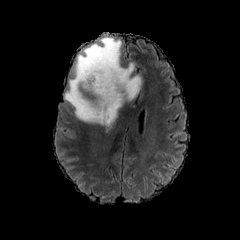
FLAIR magnetic resonance.
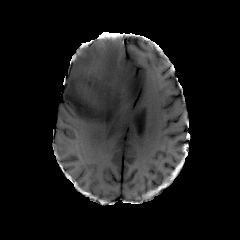
T1-weighted magnetic resonance of the same slice.
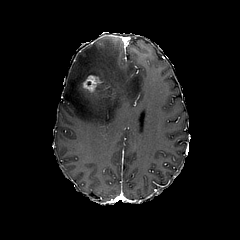
Same slice, post-contrast T1-weighted MR image.
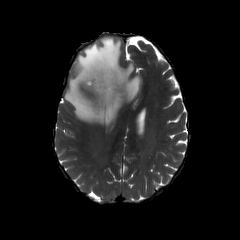
T2-weighted magnetic resonance of the same slice.
Head.
enhancing tumor: 82,73,102,94 | peritumoral edema: 64,36,141,126